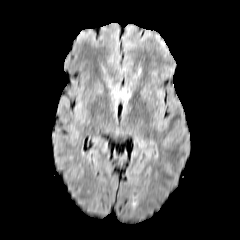
FLAIR MRI.
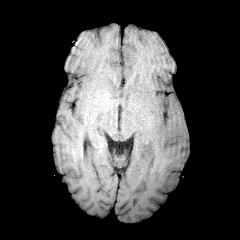
T1-weighted magnetic resonance of the same slice.
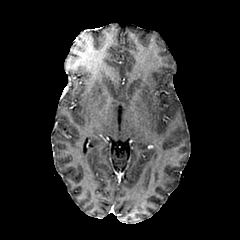
Post-contrast T1-weighted magnetic resonance of the same slice.
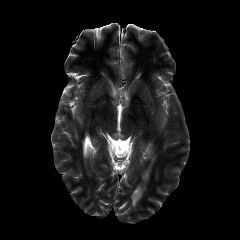
Same slice, T2-weighted MR image.
Brain, Axial slice
peritumoral edema: (115, 89, 129, 102)